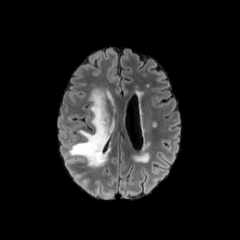
FLAIR MR.
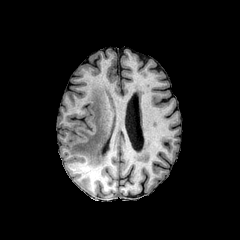
Same slice, T1-weighted MRI.
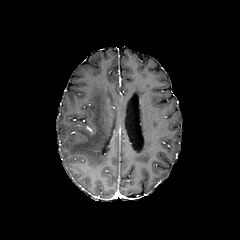
Post-contrast T1-weighted MR.
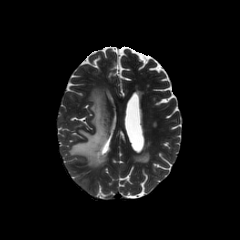
T2-weighted MRI.
Axial view
Annotated regions:
* peritumoral edema: <box>69,89,111,166</box>